Brain, Slice index 65
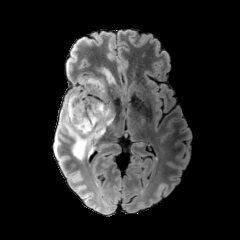
FLAIR MRI.
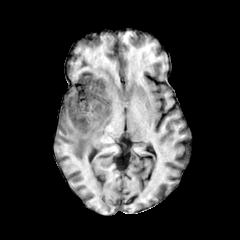
T1-weighted MR image.
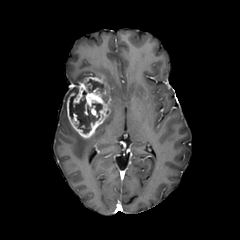
Post-contrast T1-weighted MRI.
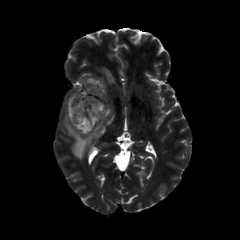
T2-weighted magnetic resonance.
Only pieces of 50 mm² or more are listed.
Findings:
• enhancing tumor: [66, 76, 110, 138]
• peritumoral edema: [100, 68, 115, 87], [60, 87, 115, 159]
• necrotic tumor core: [69, 90, 102, 133], [85, 79, 102, 92]